FLAIR MR image.
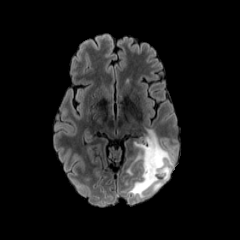
T1-weighted MR image.
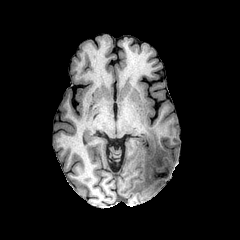
Post-contrast T1-weighted MR image.
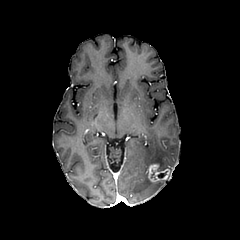
T2-weighted MRI.
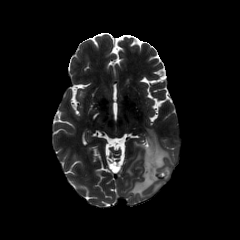
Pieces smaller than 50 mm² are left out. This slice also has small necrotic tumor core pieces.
enhancing tumor: bounding box 147, 163, 171, 182
peritumoral edema: bounding box 128, 128, 174, 197